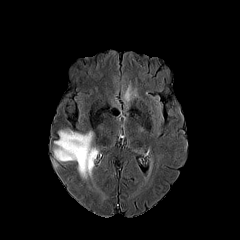
FLAIR magnetic resonance.
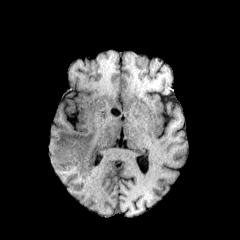
T1-weighted magnetic resonance.
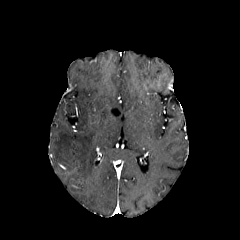
Same slice, post-contrast T1-weighted MR image.
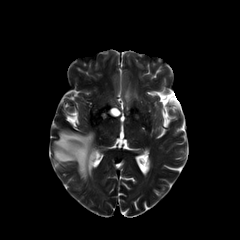
Same slice, T2-weighted magnetic resonance.
Axial view
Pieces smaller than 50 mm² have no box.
The largest peritumoral edema region is bounded by [54,130,96,178].